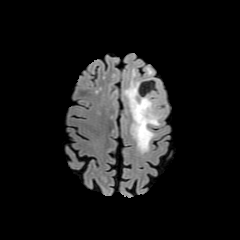
FLAIR MR image.
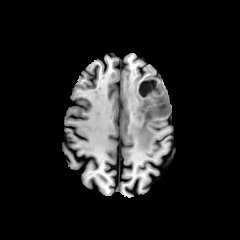
T1-weighted MR of the same slice.
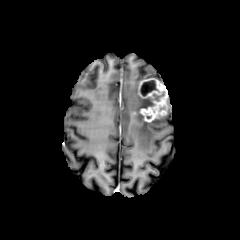
Post-contrast T1-weighted MRI.
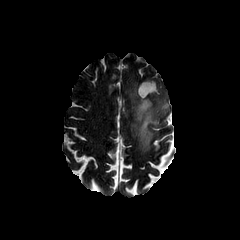
T2-weighted MR.
Axial view
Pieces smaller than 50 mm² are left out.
necrotic tumor core — box(141, 81, 155, 94)
enhancing tumor — box(138, 78, 169, 122)
peritumoral edema — box(124, 71, 163, 152)